Slice 71 of 155; Head; Axial plane; 240x240
FLAIR magnetic resonance.
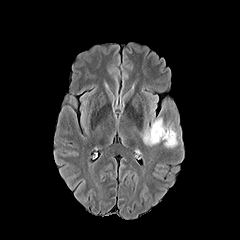
T1-weighted MR image.
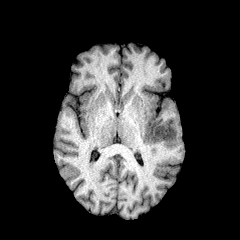
Post-contrast T1-weighted MR.
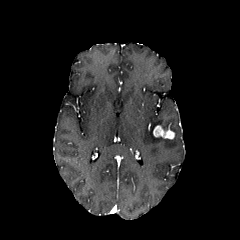
T2-weighted MRI.
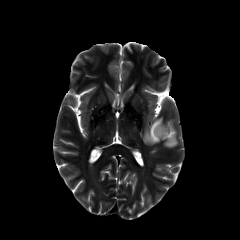
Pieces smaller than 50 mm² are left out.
{
  "peritumoral_edema": [
    "143, 117, 167, 145",
    "164, 133, 178, 147"
  ],
  "enhancing_tumor": [
    "153, 125, 174, 139"
  ]
}